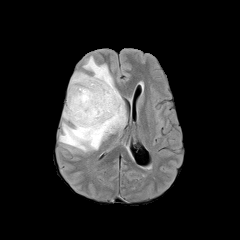
FLAIR MR image.
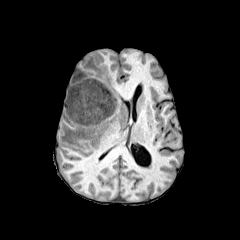
T1-weighted magnetic resonance.
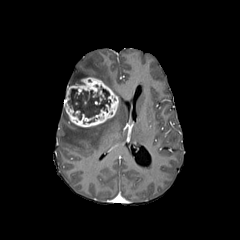
Post-contrast T1-weighted MR image.
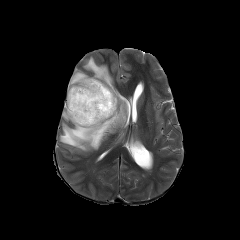
Same slice, T2-weighted MR.
Head.
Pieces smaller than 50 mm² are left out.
The largest enhancing tumor region appears at [64,77,118,127]. The 2 largest peritumoral edema regions are bounded by [62,108,69,120], [59,56,126,151]. The largest necrotic tumor core region is bounded by [68,86,111,119].